FLAIR MR image.
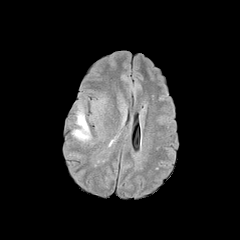
T1-weighted MRI.
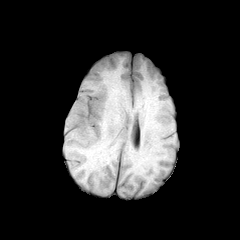
Post-contrast T1-weighted MR image.
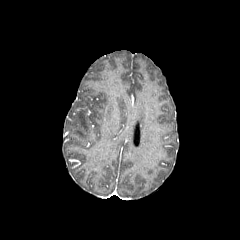
T2-weighted MR image.
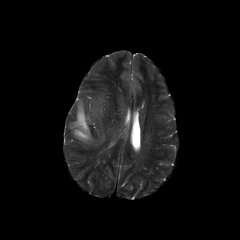
Head. 240x240 px.
• peritumoral edema: 73, 105, 90, 141